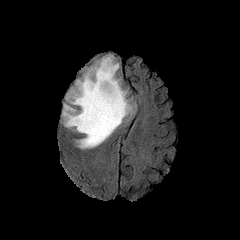
FLAIR magnetic resonance.
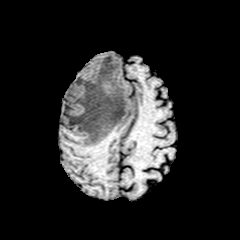
T1-weighted MRI of the same slice.
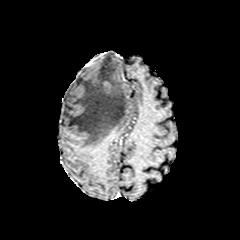
Post-contrast T1-weighted magnetic resonance of the same slice.
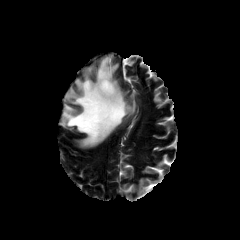
T2-weighted MR image.
Axial view
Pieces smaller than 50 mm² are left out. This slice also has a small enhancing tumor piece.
The peritumoral edema appears at (x1=62, y1=54, x2=136, y2=148).